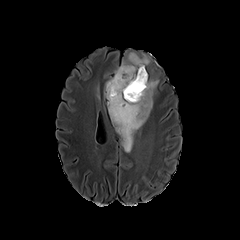
FLAIR MR image.
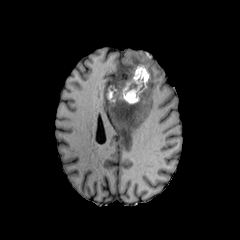
T1-weighted magnetic resonance.
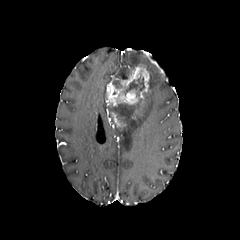
Post-contrast T1-weighted magnetic resonance.
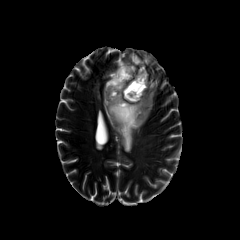
Same slice, T2-weighted magnetic resonance.
Head | Axial view
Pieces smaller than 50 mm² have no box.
peritumoral edema = (left=104, top=79, right=111, bottom=99), (left=108, top=79, right=158, bottom=152), (left=96, top=82, right=101, bottom=100), (left=116, top=52, right=149, bottom=71)
necrotic tumor core = (left=113, top=80, right=121, bottom=87), (left=115, top=67, right=129, bottom=79), (left=112, top=99, right=141, bottom=121), (left=123, top=76, right=144, bottom=96)
enhancing tumor = (left=106, top=64, right=148, bottom=118), (left=111, top=112, right=126, bottom=128)